FLAIR MR.
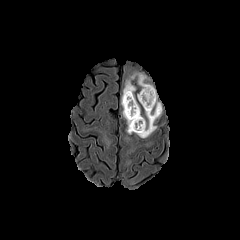
T1-weighted MR image.
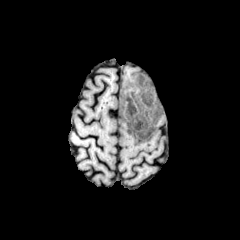
Post-contrast T1-weighted MR image.
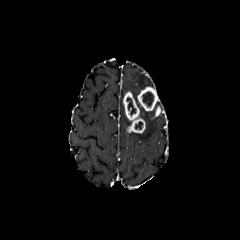
T2-weighted MR.
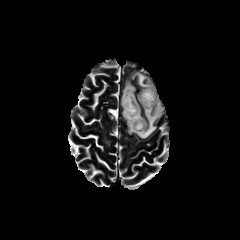
240x240 px
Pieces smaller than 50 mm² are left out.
The largest peritumoral edema region is bounded by (121,73,160,138). The 2 largest necrotic tumor core regions are located at (127,97,135,115), (142,92,153,106). 3 enhancing tumor regions appear at (123,91,145,133), (137,86,158,111), (152,105,162,118).